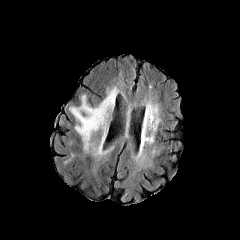
FLAIR MR.
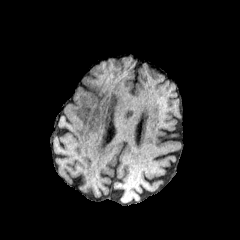
T1-weighted MR image.
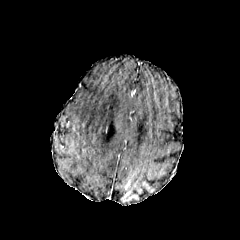
Same slice, post-contrast T1-weighted MR image.
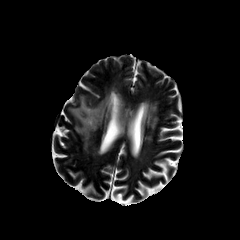
T2-weighted magnetic resonance.
Image size 240x240
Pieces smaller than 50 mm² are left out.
The largest peritumoral edema region is located at (left=70, top=86, right=119, bottom=156).